FLAIR magnetic resonance.
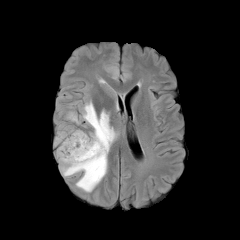
T1-weighted MRI.
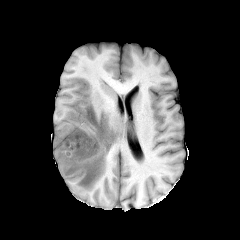
Post-contrast T1-weighted MR.
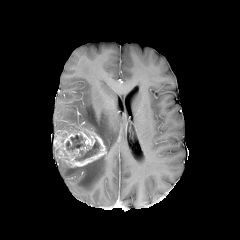
T2-weighted MR image.
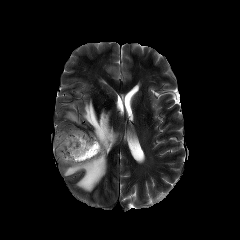
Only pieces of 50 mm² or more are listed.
Findings:
* peritumoral edema: box=[67, 112, 79, 123]; box=[58, 101, 118, 192]
* necrotic tumor core: box=[66, 136, 83, 150]; box=[77, 144, 98, 161]
* enhancing tumor: box=[53, 130, 106, 167]